FLAIR magnetic resonance.
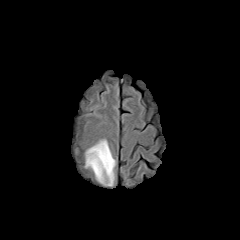
T1-weighted MRI.
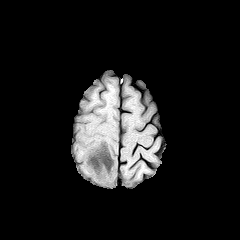
Post-contrast T1-weighted MRI.
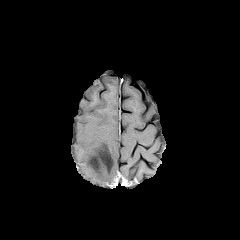
T2-weighted MR image.
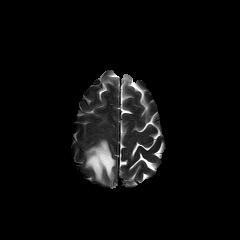
240x240
The peritumoral edema appears at 85,140,115,184.